FLAIR MRI.
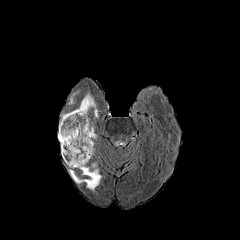
T1-weighted MRI.
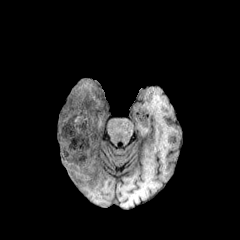
Post-contrast T1-weighted MRI.
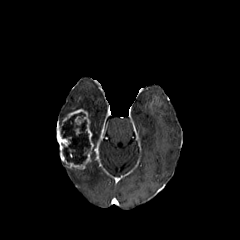
T2-weighted magnetic resonance.
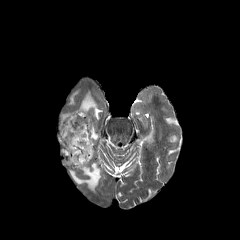
Axial view. Head.
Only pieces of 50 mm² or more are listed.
enhancing_tumor:
  - <box>58,109,93,169</box>
peritumoral_edema:
  - <box>69,91,78,104</box>
  - <box>78,92,98,117</box>
  - <box>69,162,101,190</box>
  - <box>90,125,97,142</box>
necrotic_tumor_core:
  - <box>60,112,90,164</box>